Image size 240x240, Head
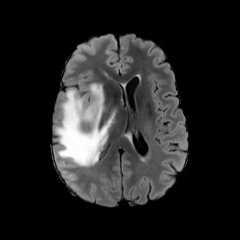
FLAIR MR.
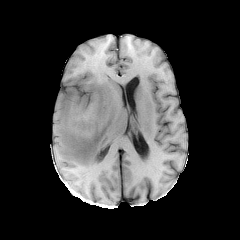
T1-weighted MR.
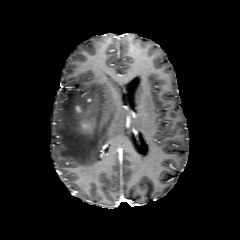
Post-contrast T1-weighted magnetic resonance.
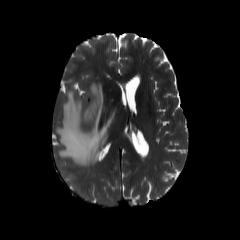
T2-weighted MRI.
peritumoral edema: bounding box region(54, 83, 115, 167)
enhancing tumor: bounding box region(74, 102, 81, 114); region(80, 120, 90, 127)